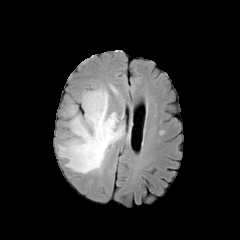
FLAIR magnetic resonance.
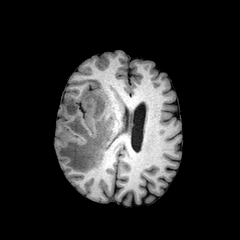
T1-weighted magnetic resonance.
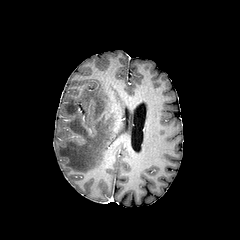
Post-contrast T1-weighted magnetic resonance of the same slice.
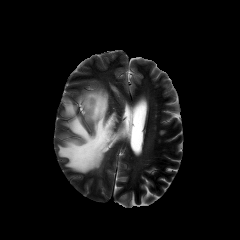
T2-weighted MRI.
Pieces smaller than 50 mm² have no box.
{"peritumoral_edema": ["[58,87,124,173]"]}